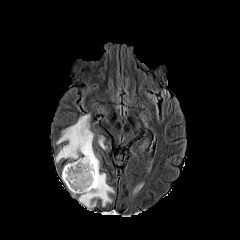
FLAIR magnetic resonance.
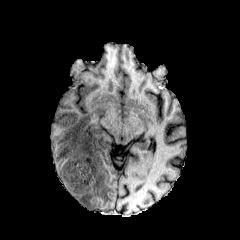
T1-weighted MR of the same slice.
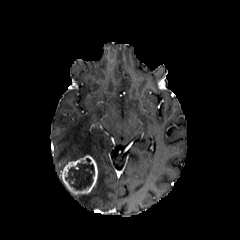
Same slice, post-contrast T1-weighted magnetic resonance.
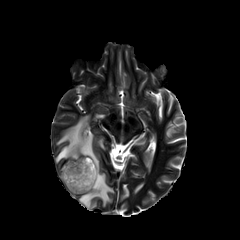
T2-weighted magnetic resonance.
Head
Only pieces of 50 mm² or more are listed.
The necrotic tumor core lies within 65:158:94:190. The largest enhancing tumor region is located at 61:155:97:194. 2 peritumoral edema regions are located at 98:136:105:149, 55:114:114:210.